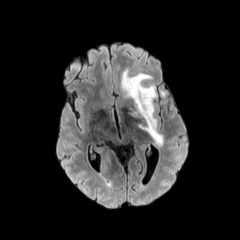
FLAIR MRI.
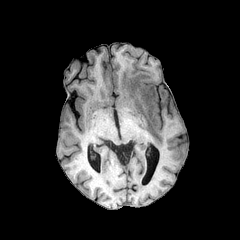
T1-weighted MRI.
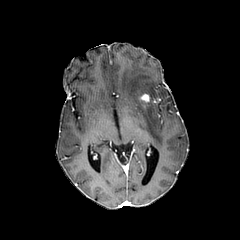
Same slice, post-contrast T1-weighted MR image.
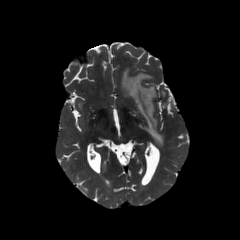
T2-weighted MRI.
Axial slice
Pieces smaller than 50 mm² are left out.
enhancing tumor: l=140, t=93, r=150, b=103
peritumoral edema: l=121, t=69, r=163, b=146